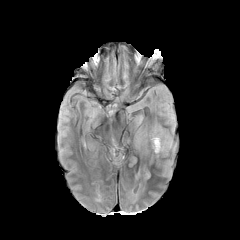
FLAIR MR.
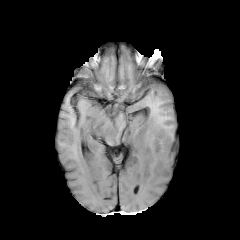
T1-weighted MR.
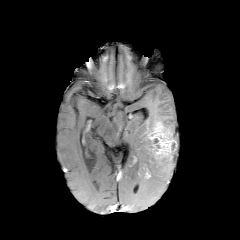
Post-contrast T1-weighted magnetic resonance.
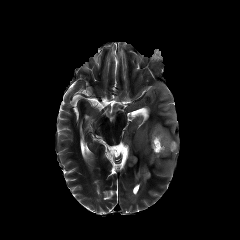
Same slice, T2-weighted MRI.
Head
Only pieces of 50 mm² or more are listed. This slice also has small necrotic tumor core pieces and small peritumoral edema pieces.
<segmentation>
  <enhancing_tumor><box>138,166,150,179</box>, <box>148,124,173,155</box></enhancing_tumor>
</segmentation>